FLAIR MR image.
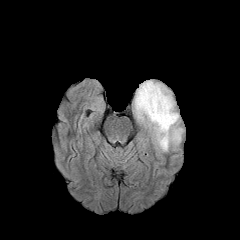
T1-weighted magnetic resonance.
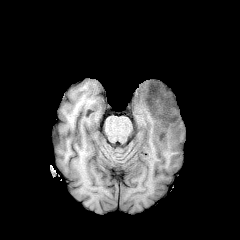
Post-contrast T1-weighted MR image.
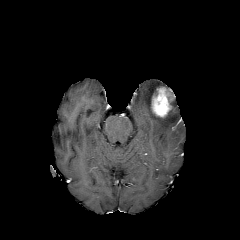
T2-weighted MR image.
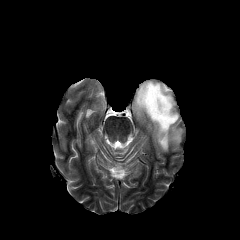
Brain, Image size 240x240, Axial view
The enhancing tumor is bounded by bbox(151, 86, 173, 117). The peritumoral edema appears at bbox(133, 80, 183, 151).